Slice 82/155. Image width 240 mm. 240x240 px. Head.
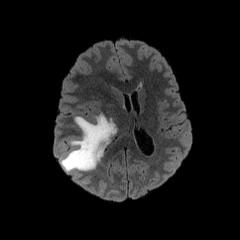
FLAIR MRI.
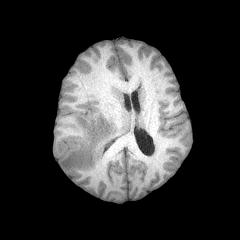
T1-weighted magnetic resonance.
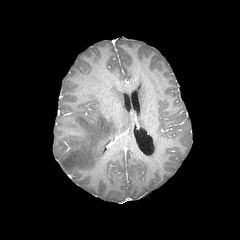
Post-contrast T1-weighted MR image.
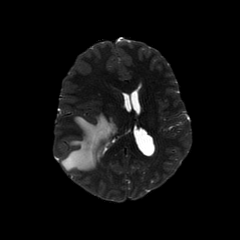
Same slice, T2-weighted MR.
<segmentation>
  <peritumoral_edema>[61, 114, 117, 171]</peritumoral_edema>
</segmentation>